Brain
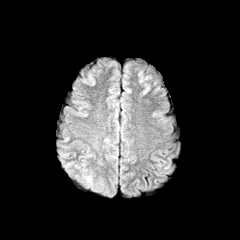
FLAIR MRI.
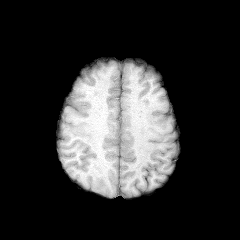
T1-weighted MR.
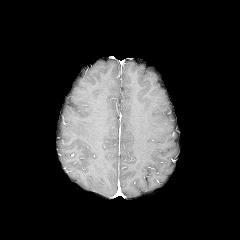
Same slice, post-contrast T1-weighted MRI.
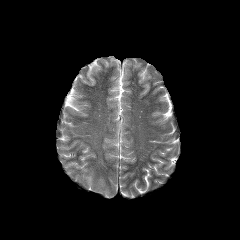
T2-weighted magnetic resonance of the same slice.
Annotated regions:
* peritumoral edema: l=84, t=176, r=92, b=185